FLAIR MR.
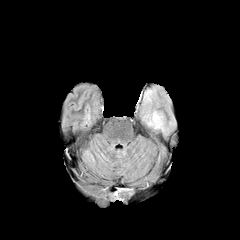
T1-weighted MR image.
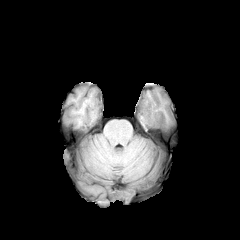
Post-contrast T1-weighted MR image.
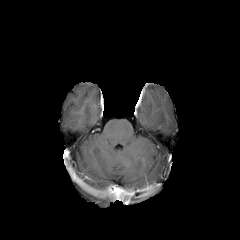
T2-weighted MRI.
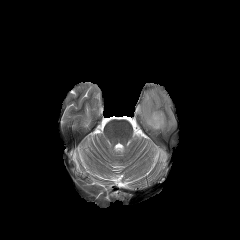
Axial slice. 240x240.
peritumoral_edema:
  - bbox(144, 111, 164, 130)